Axial slice.
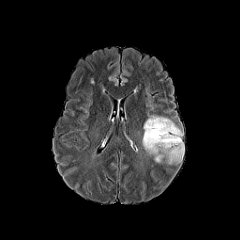
FLAIR MR image.
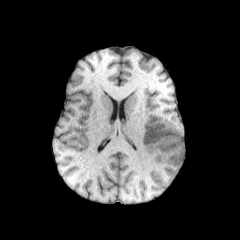
T1-weighted MRI.
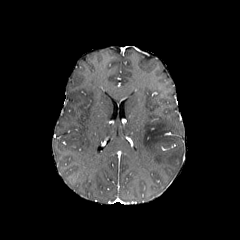
Same slice, post-contrast T1-weighted magnetic resonance.
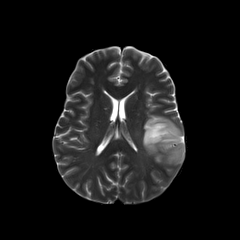
T2-weighted MR of the same slice.
peritumoral edema: (142,115,184,164)